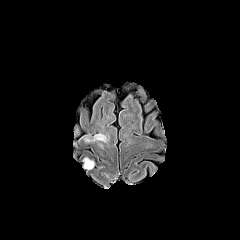
FLAIR MR.
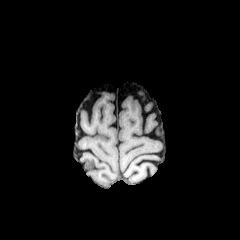
T1-weighted MR image of the same slice.
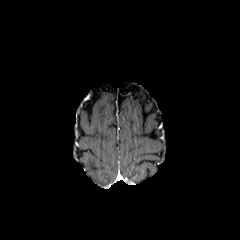
Post-contrast T1-weighted magnetic resonance.
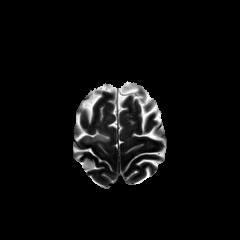
Same slice, T2-weighted magnetic resonance.
Head | Axial view
peritumoral edema at 84 158 94 169, 94 133 106 141